Axial view. Image covers 240 mm x 240 mm. 240x240 px.
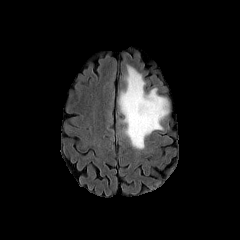
FLAIR MRI.
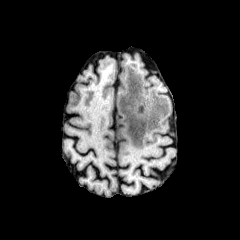
T1-weighted MR.
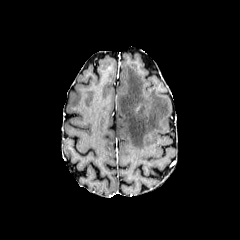
Post-contrast T1-weighted MRI.
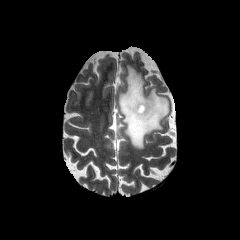
T2-weighted MR image.
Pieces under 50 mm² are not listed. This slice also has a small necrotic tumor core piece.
peritumoral edema: box=[118, 65, 168, 149]